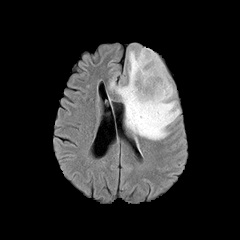
FLAIR MR image.
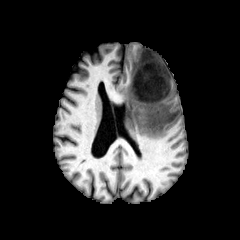
T1-weighted MRI.
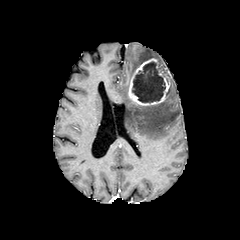
Post-contrast T1-weighted MR image of the same slice.
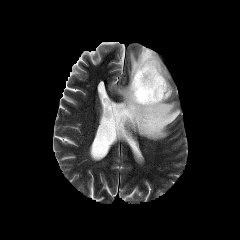
T2-weighted MR.
Head
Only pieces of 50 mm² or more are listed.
The largest necrotic tumor core region lies within region(132, 62, 165, 102). The peritumoral edema is located at region(109, 47, 180, 140). The enhancing tumor is at region(128, 58, 169, 105).